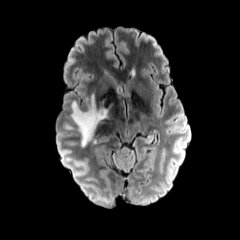
FLAIR MR image.
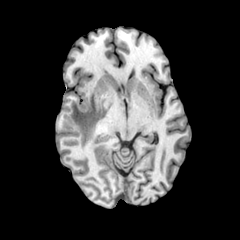
Same slice, T1-weighted MR image.
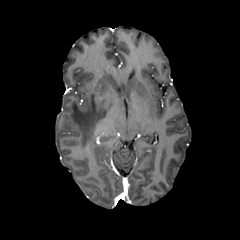
Post-contrast T1-weighted MR.
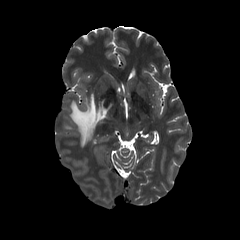
Same slice, T2-weighted MRI.
Axial plane. Head.
The peritumoral edema lies within x1=63, y1=95, x2=112, y2=146.